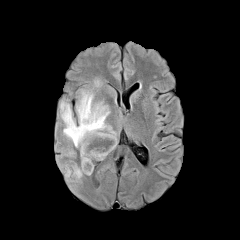
FLAIR MR.
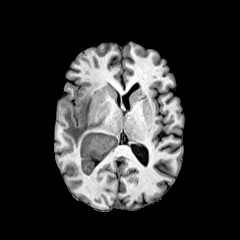
T1-weighted MRI.
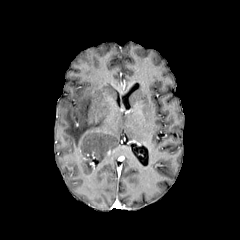
Post-contrast T1-weighted MR image of the same slice.
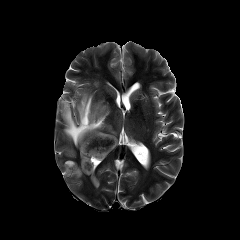
T2-weighted MR image of the same slice.
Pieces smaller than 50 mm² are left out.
peritumoral edema: 94:77:102:86, 60:90:116:178